Axial view.
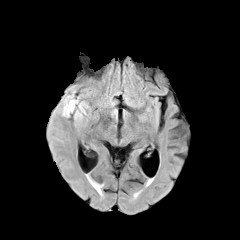
FLAIR magnetic resonance.
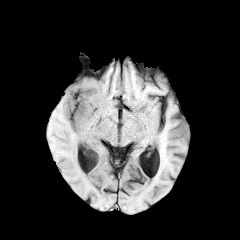
T1-weighted MRI of the same slice.
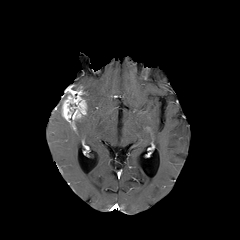
Post-contrast T1-weighted MRI of the same slice.
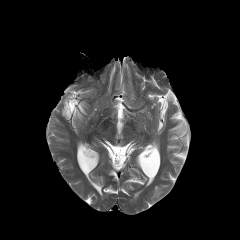
T2-weighted MR image of the same slice.
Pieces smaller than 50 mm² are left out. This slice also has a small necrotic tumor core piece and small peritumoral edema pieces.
enhancing tumor: 62:86:87:120